Image covers 240 mm x 240 mm, Axial plane, Head
FLAIR MR.
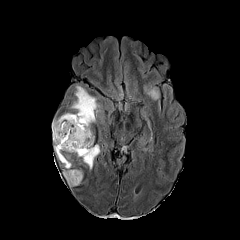
T1-weighted MR image.
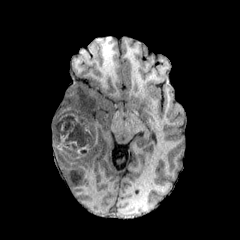
Post-contrast T1-weighted MR.
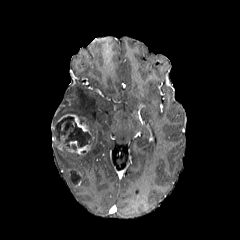
T2-weighted MRI.
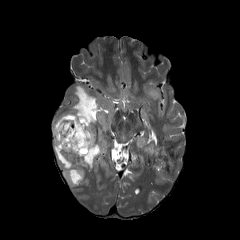
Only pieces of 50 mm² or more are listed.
<segmentation>
  <enhancing_tumor>bbox(58, 114, 89, 132); bbox(66, 144, 91, 154)</enhancing_tumor>
  <peritumoral_edema>bbox(144, 86, 159, 100); bbox(71, 85, 99, 130); bbox(53, 141, 83, 186); bbox(77, 144, 100, 169)</peritumoral_edema>
  <necrotic_tumor_core>bbox(73, 171, 80, 184); bbox(54, 116, 93, 150)</necrotic_tumor_core>
</segmentation>